Slice index 96, Image size 240x240
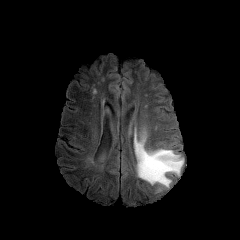
FLAIR MRI.
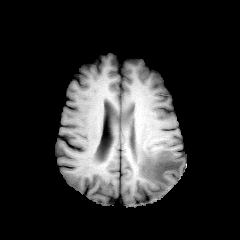
T1-weighted magnetic resonance.
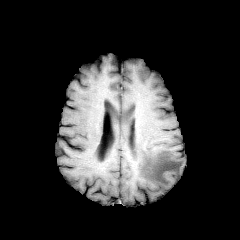
Post-contrast T1-weighted MRI of the same slice.
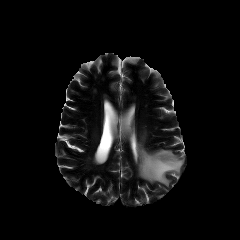
T2-weighted MRI.
peritumoral edema at region(135, 136, 183, 187)